Brain
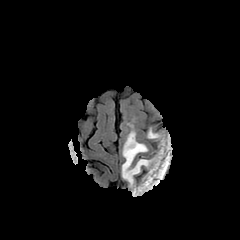
FLAIR MR.
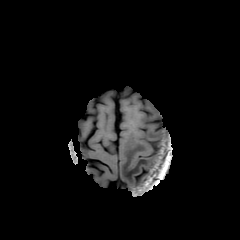
Same slice, T1-weighted MR.
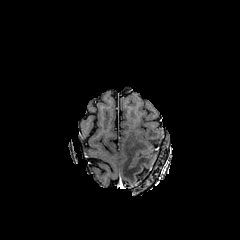
Post-contrast T1-weighted MR.
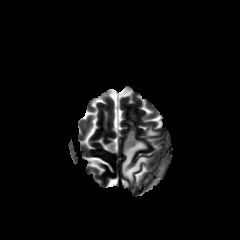
Same slice, T2-weighted MRI.
peritumoral_edema:
  - (147,128,159,138)
  - (121,130,154,186)